Slice index 97
FLAIR MR.
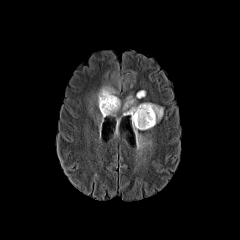
T1-weighted magnetic resonance.
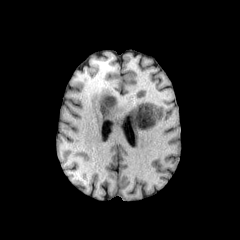
Post-contrast T1-weighted MR.
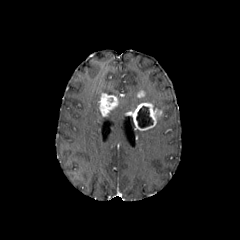
T2-weighted MR.
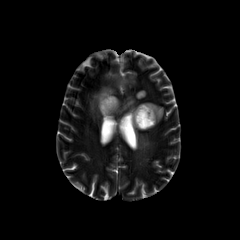
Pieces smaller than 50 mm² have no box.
enhancing tumor: box(126, 102, 162, 130); box(99, 93, 118, 116) | peritumoral edema: box(131, 116, 150, 149); box(108, 100, 120, 115); box(123, 95, 136, 115); box(96, 86, 115, 107) | necrotic tumor core: box(136, 106, 153, 127)